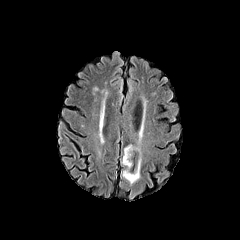
FLAIR MRI.
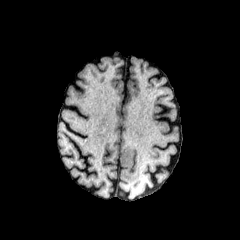
T1-weighted MR image.
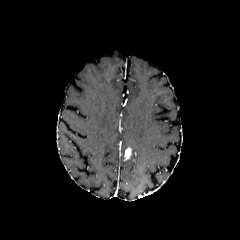
Same slice, post-contrast T1-weighted MR.
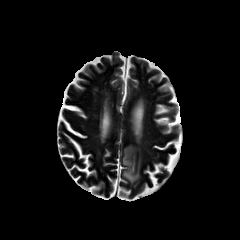
T2-weighted MR image of the same slice.
<segmentation>
  <peritumoral_edema>{"x1": 121, "y1": 140, "x2": 141, "y2": 184}</peritumoral_edema>
  <enhancing_tumor>{"x1": 124, "y1": 147, "x2": 131, "y2": 160}</enhancing_tumor>
</segmentation>